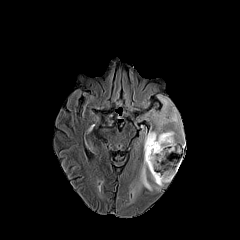
FLAIR MR image.
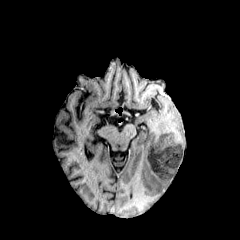
T1-weighted magnetic resonance.
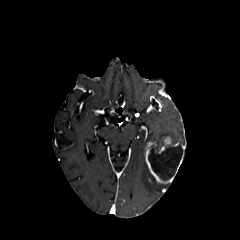
Post-contrast T1-weighted magnetic resonance.
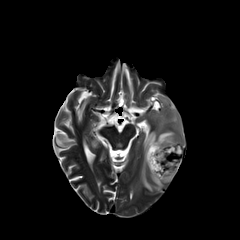
T2-weighted MR.
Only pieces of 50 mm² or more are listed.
enhancing tumor = (x1=145, y1=141, x2=174, y2=183), (x1=156, y1=136, x2=178, y2=153)
peritumoral edema = (x1=138, y1=97, x2=183, y2=191)
necrotic tumor core = (x1=148, y1=141, x2=183, y2=180)